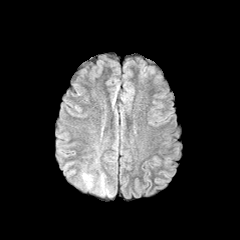
FLAIR MR image.
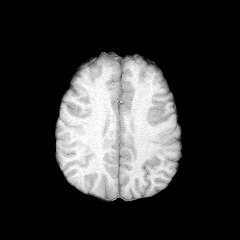
T1-weighted magnetic resonance of the same slice.
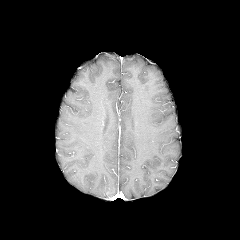
Same slice, post-contrast T1-weighted MRI.
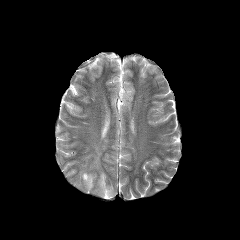
T2-weighted MRI of the same slice.
Axial plane; Image size 240x240; Brain
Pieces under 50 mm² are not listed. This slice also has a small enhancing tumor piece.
peritumoral edema: 81:172:94:190, 94:172:115:199